Axial slice | Head
FLAIR MR.
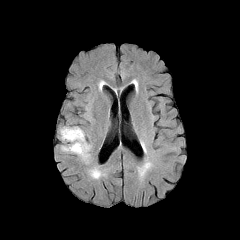
T1-weighted MR image.
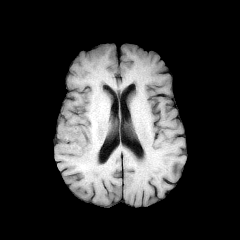
Post-contrast T1-weighted MR image.
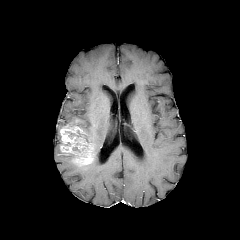
T2-weighted MRI.
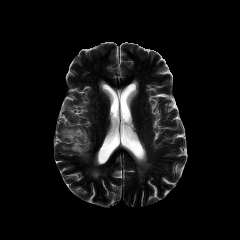
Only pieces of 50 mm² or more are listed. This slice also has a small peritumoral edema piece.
The largest necrotic tumor core region is at [69,130,84,138]. The largest enhancing tumor region is located at [60,124,92,164].